Image width 240 mm, 1.00 mm slice spacing
FLAIR MRI.
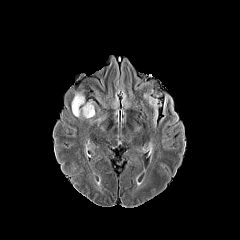
T1-weighted MR.
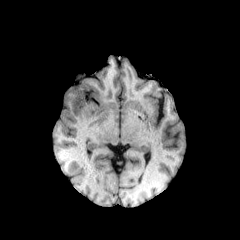
Post-contrast T1-weighted MRI.
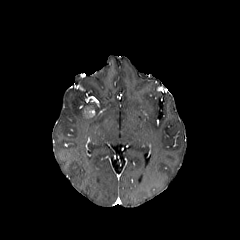
T2-weighted MRI.
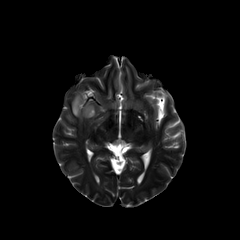
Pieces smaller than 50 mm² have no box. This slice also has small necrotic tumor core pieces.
peritumoral edema: <bbox>72, 93, 90, 119</bbox> | enhancing tumor: <bbox>83, 106, 94, 117</bbox>